FLAIR MR image.
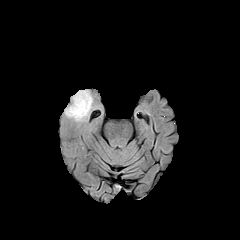
T1-weighted MRI.
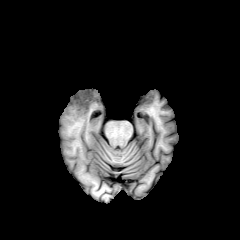
Post-contrast T1-weighted MRI.
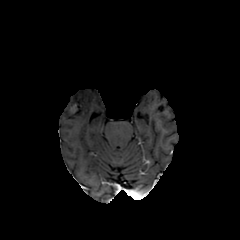
T2-weighted MR image.
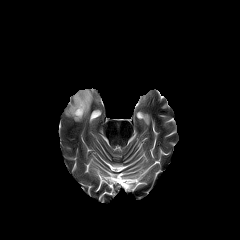
Brain. Axial slice.
The enhancing tumor appears at box=[70, 104, 77, 113]. The peritumoral edema is bounded by box=[64, 90, 92, 121].